FLAIR MRI.
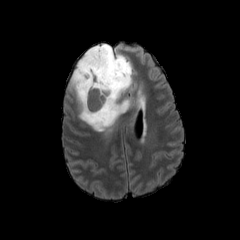
T1-weighted magnetic resonance.
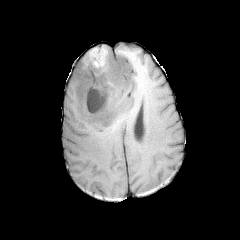
Post-contrast T1-weighted magnetic resonance.
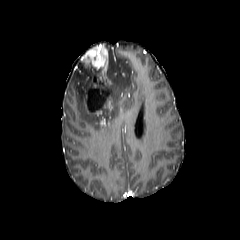
T2-weighted magnetic resonance.
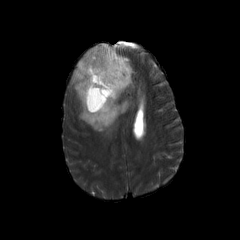
Axial plane, 240x240 px, Brain
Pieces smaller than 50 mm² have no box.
The 3 largest enhancing tumor regions are bounded by <bbox>85, 95, 112, 118</bbox>, <bbox>81, 45, 110, 83</bbox>, <bbox>99, 117, 109, 126</bbox>. The necrotic tumor core appears at <bbox>87, 88, 110, 111</bbox>. The largest peritumoral edema region is bounded by <bbox>68, 44, 132, 132</bbox>.